Image covers 240 mm x 240 mm. Brain. Axial slice. Slice 132/155.
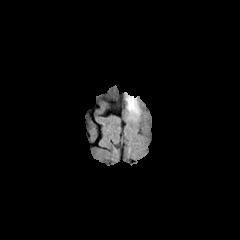
FLAIR MR.
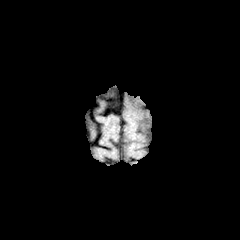
T1-weighted MR image of the same slice.
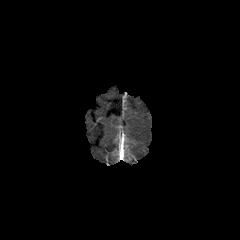
Post-contrast T1-weighted magnetic resonance.
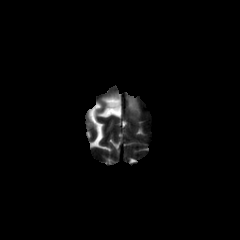
T2-weighted MR.
The peritumoral edema lies within <box>127,97,137,112</box>.